FLAIR magnetic resonance.
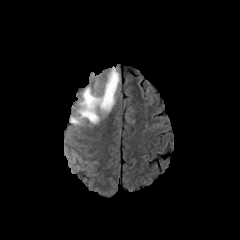
T1-weighted MR image.
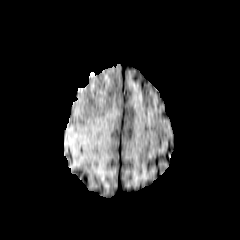
Post-contrast T1-weighted MR.
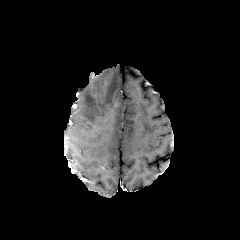
T2-weighted MR.
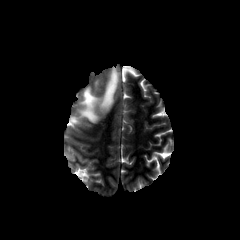
Axial view
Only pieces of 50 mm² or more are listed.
{"peritumoral_edema": ["(78, 68, 119, 121)"]}